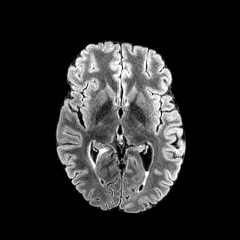
FLAIR MR image.
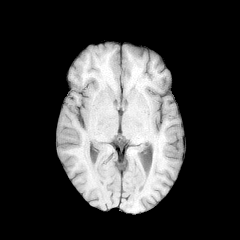
Same slice, T1-weighted MRI.
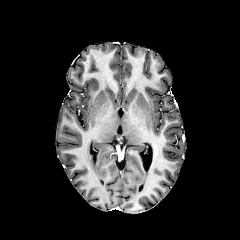
Post-contrast T1-weighted MR image of the same slice.
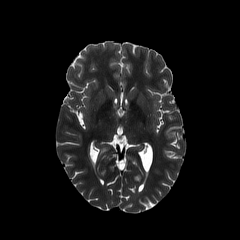
T2-weighted MR.
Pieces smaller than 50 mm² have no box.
The largest peritumoral edema region is at (86,156,95,170).